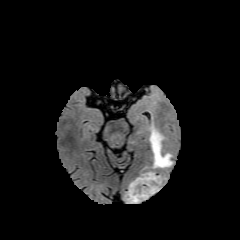
FLAIR MR image.
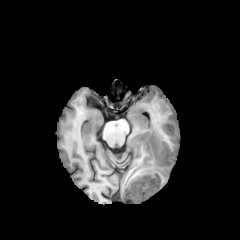
T1-weighted MR.
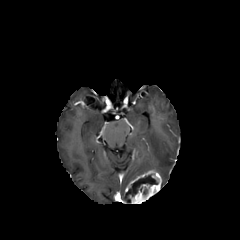
Post-contrast T1-weighted MR.
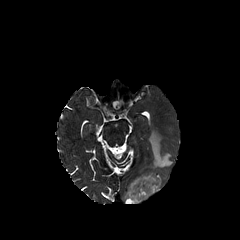
T2-weighted MRI.
240x240 px; Axial slice
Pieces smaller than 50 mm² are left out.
{
  "enhancing_tumor": [
    "(125,170,161,203)"
  ],
  "necrotic_tumor_core": [
    "(124,175,157,202)"
  ],
  "peritumoral_edema": [
    "(149,126,172,169)"
  ]
}